240x240, Brain, Image covers 240 mm x 240 mm, Slice 72 of 155, Axial plane
FLAIR magnetic resonance.
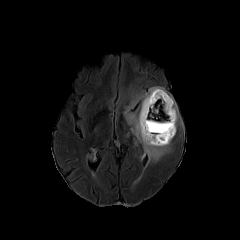
T1-weighted MRI.
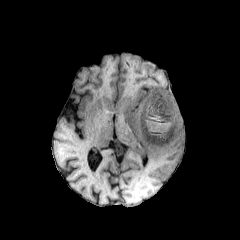
Post-contrast T1-weighted MR image.
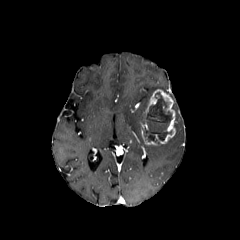
T2-weighted magnetic resonance.
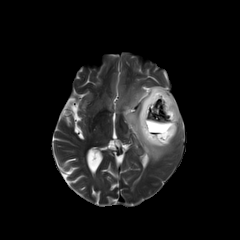
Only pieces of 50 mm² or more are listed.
Annotated regions:
- necrotic tumor core: <box>142,92,171,141</box>
- peritumoral edema: <box>123,86,171,162</box>, <box>172,102,181,130</box>
- enhancing tumor: <box>140,89,175,145</box>